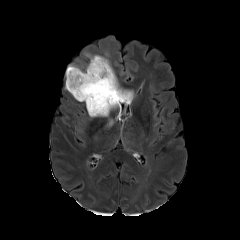
FLAIR MR image.
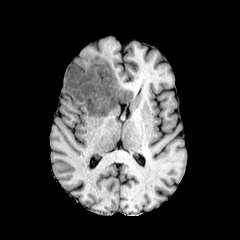
Same slice, T1-weighted MR.
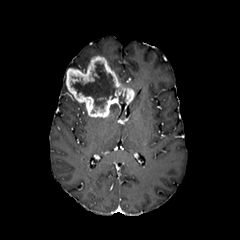
Post-contrast T1-weighted MR image.
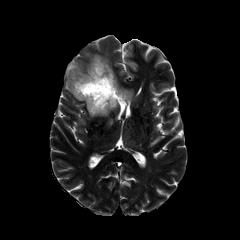
Same slice, T2-weighted MR.
Axial view, Image size 240x240
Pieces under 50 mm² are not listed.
The largest enhancing tumor region is located at 66 55 134 117. The largest necrotic tumor core region is located at 71 62 116 108. The largest peritumoral edema region is at 67 64 87 72.